Slice 107 of 155, Image width 240 mm, Image size 240x240, Axial view
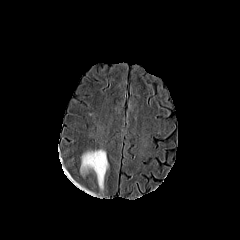
FLAIR MR image.
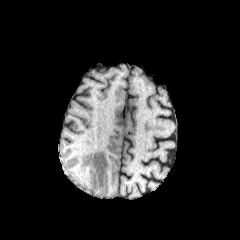
T1-weighted magnetic resonance of the same slice.
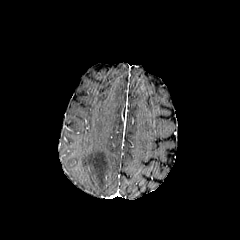
Post-contrast T1-weighted MRI.
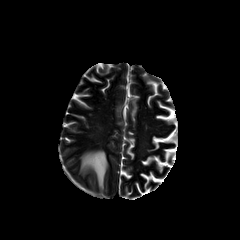
T2-weighted MRI.
<segmentation>
  <peritumoral_edema>80:149:108:190</peritumoral_edema>
</segmentation>